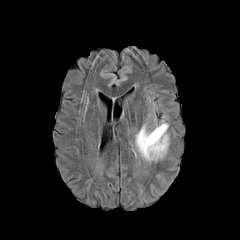
FLAIR MRI.
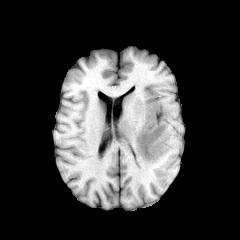
T1-weighted MRI of the same slice.
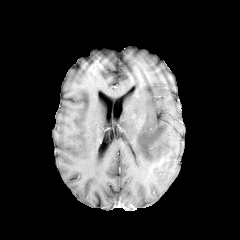
Post-contrast T1-weighted MR image.
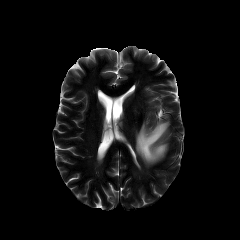
T2-weighted MR image.
Axial plane
Annotated regions:
* peritumoral edema: bbox(135, 121, 168, 162)